FLAIR MR image.
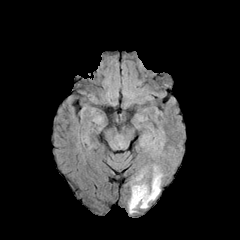
T1-weighted MR image.
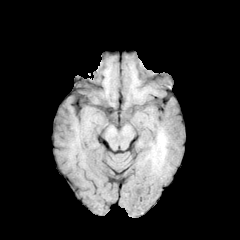
Post-contrast T1-weighted MR.
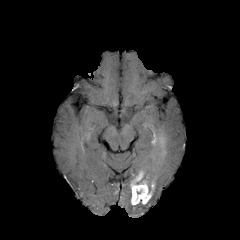
T2-weighted MR image.
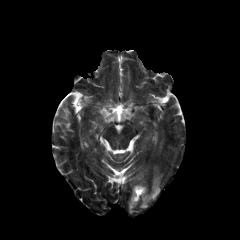
Axial slice
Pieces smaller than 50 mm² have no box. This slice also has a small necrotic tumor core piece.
enhancing tumor at 131:174:154:205
peritumoral edema at 148:174:161:202, 128:199:138:213